FLAIR MR.
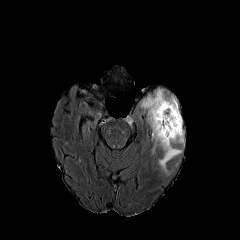
T1-weighted MR image.
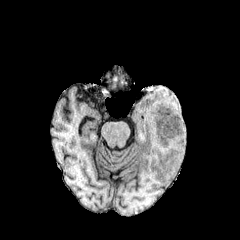
Post-contrast T1-weighted MR image.
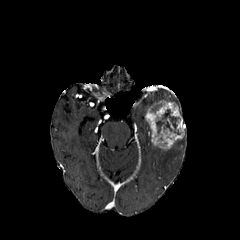
T2-weighted magnetic resonance.
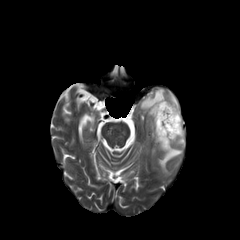
Axial slice; Head
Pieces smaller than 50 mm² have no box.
peritumoral edema: [x1=158, y1=146, x2=182, y2=174], [x1=140, y1=89, x2=178, y2=112]
enhancing tumor: [x1=145, y1=100, x2=184, y2=150]
necrotic tumor core: [x1=156, y1=120, x2=164, y2=132], [x1=162, y1=109, x2=178, y2=128]